Brain. Axial slice. Slice index 97.
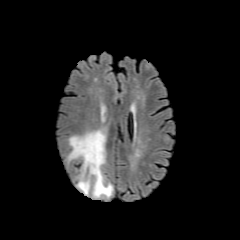
FLAIR MR.
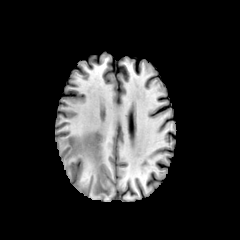
T1-weighted MR image.
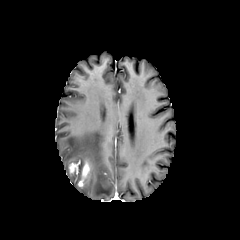
Post-contrast T1-weighted MR image.
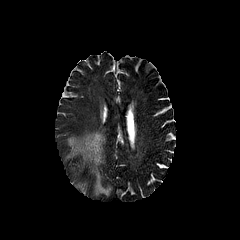
T2-weighted MR image of the same slice.
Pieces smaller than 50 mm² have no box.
2 enhancing tumor regions appear at (78, 161, 89, 186), (69, 163, 78, 173). The largest peritumoral edema region appears at (67, 129, 112, 197).